FLAIR MR image.
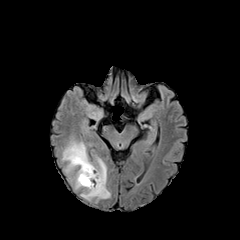
T1-weighted magnetic resonance.
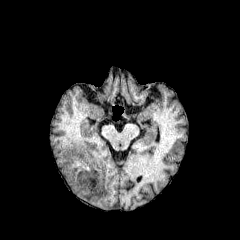
Post-contrast T1-weighted MRI.
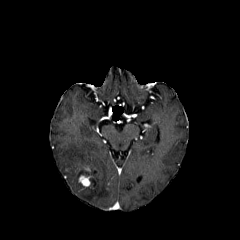
T2-weighted MRI.
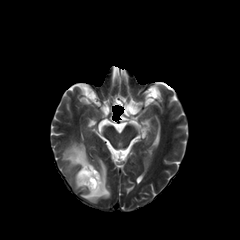
Brain
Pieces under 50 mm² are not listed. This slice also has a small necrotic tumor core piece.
enhancing tumor: 79 175 92 187
peritumoral edema: 62 140 110 202